FLAIR magnetic resonance.
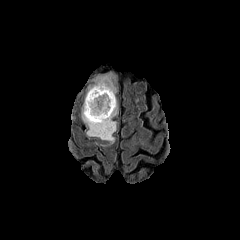
T1-weighted MR image.
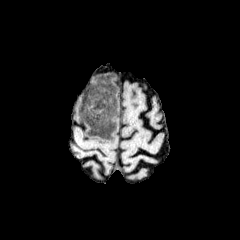
Post-contrast T1-weighted MRI.
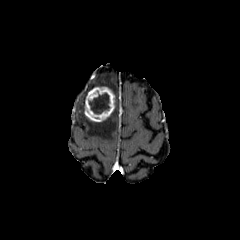
T2-weighted MRI.
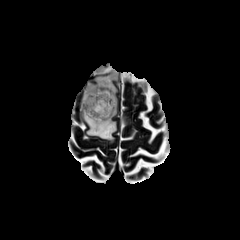
Head. Axial plane.
<segmentation>
  <necrotic_tumor_core>bbox(89, 93, 109, 113)</necrotic_tumor_core>
  <peritumoral_edema>bbox(87, 74, 117, 95); bbox(81, 99, 118, 142)</peritumoral_edema>
  <enhancing_tumor>bbox(84, 86, 115, 121)</enhancing_tumor>
</segmentation>